Axial view | Brain | Image size 240x240
FLAIR MR image.
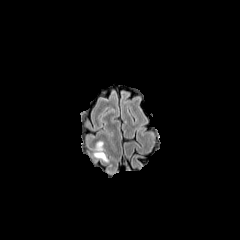
T1-weighted MRI.
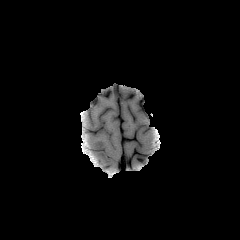
Post-contrast T1-weighted MR.
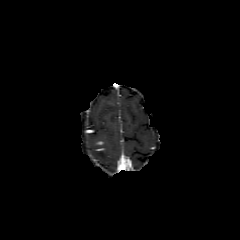
T2-weighted MR image.
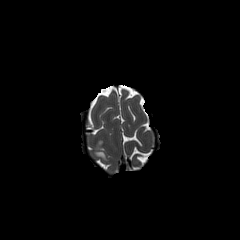
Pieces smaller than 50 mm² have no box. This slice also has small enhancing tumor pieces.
peritumoral edema: <box>93,143,108,161</box>